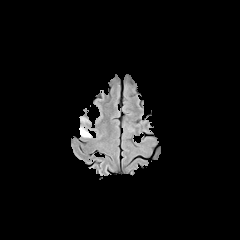
FLAIR MRI.
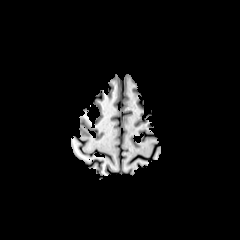
T1-weighted MR.
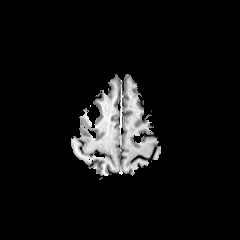
Post-contrast T1-weighted magnetic resonance.
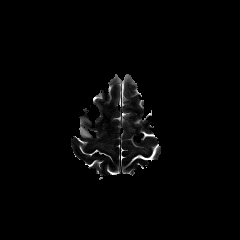
T2-weighted magnetic resonance of the same slice.
Image size 240x240
<segmentation>
  <peritumoral_edema>79,127,91,137</peritumoral_edema>
</segmentation>